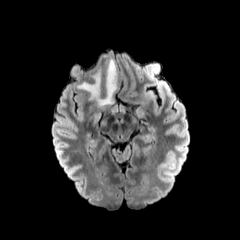
FLAIR magnetic resonance.
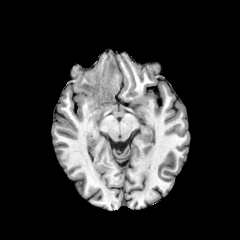
T1-weighted MRI.
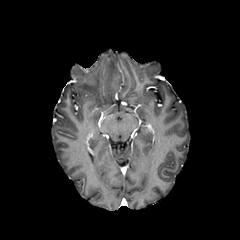
Post-contrast T1-weighted MR image.
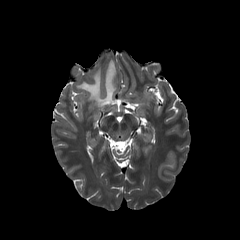
Same slice, T2-weighted MR image.
240x240, Axial plane, Brain
{
  "peritumoral_edema": [
    "(x1=77, y1=59, x2=116, y2=106)"
  ]
}